Brain; Slice 64 of 155; Image width 240 mm, 1.00 mm slice spacing
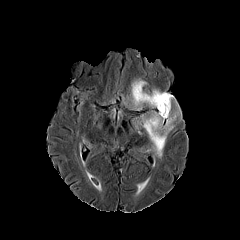
FLAIR magnetic resonance.
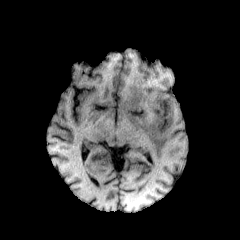
Same slice, T1-weighted MR image.
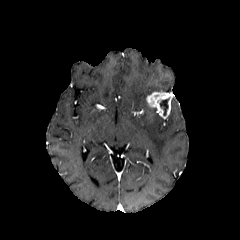
Post-contrast T1-weighted MR image of the same slice.
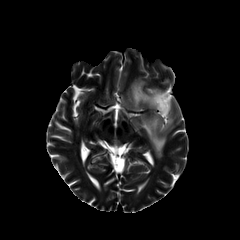
T2-weighted magnetic resonance.
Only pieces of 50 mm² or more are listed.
necrotic tumor core at box(160, 99, 168, 115)
enhancing tumor at box(146, 91, 173, 119)
peritumoral edema at box(142, 108, 179, 157); box(130, 79, 149, 109)